240x240. Image width 240 mm, 1.00 mm slice spacing.
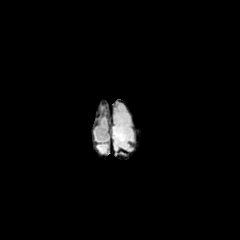
FLAIR MR.
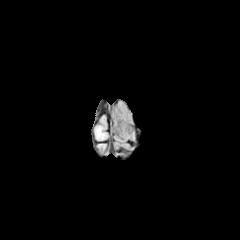
Same slice, T1-weighted magnetic resonance.
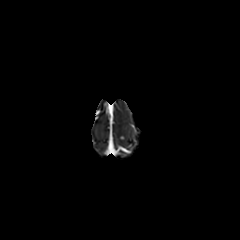
Post-contrast T1-weighted MR of the same slice.
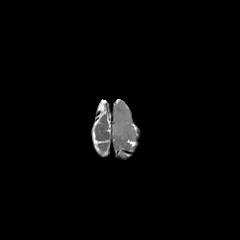
Same slice, T2-weighted MR.
peritumoral edema: 113, 106, 130, 145